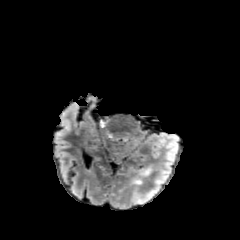
FLAIR MRI.
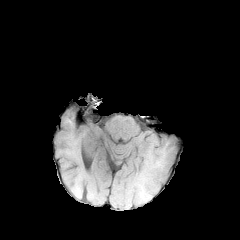
T1-weighted MRI.
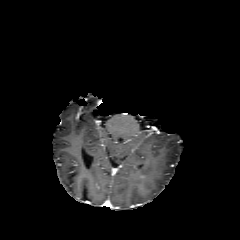
Post-contrast T1-weighted MR image.
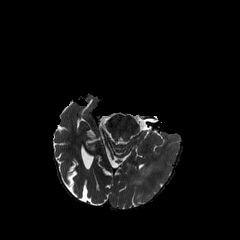
T2-weighted MRI.
Axial view
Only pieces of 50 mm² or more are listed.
peritumoral edema: bbox(142, 166, 151, 175)